Head, Image width 240 mm, 1.00 mm slice spacing
FLAIR MR.
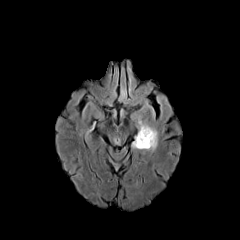
T1-weighted magnetic resonance.
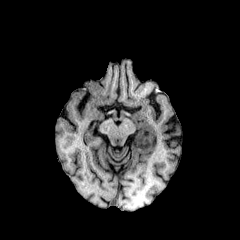
Post-contrast T1-weighted magnetic resonance.
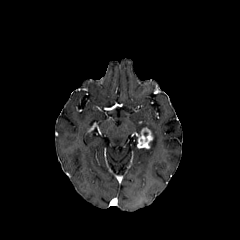
T2-weighted MR image.
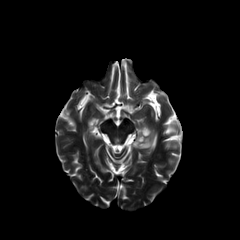
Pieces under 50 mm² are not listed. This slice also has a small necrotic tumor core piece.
The largest peritumoral edema region appears at l=138, t=123, r=157, b=150. The enhancing tumor appears at l=137, t=127, r=153, b=148.